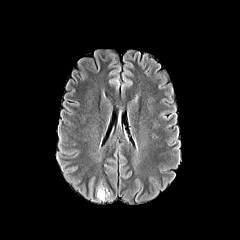
FLAIR magnetic resonance.
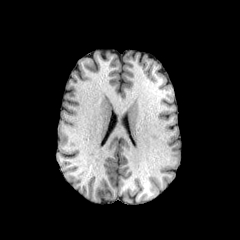
T1-weighted MR of the same slice.
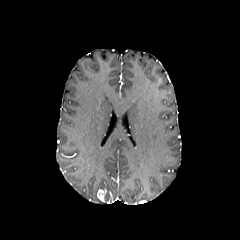
Post-contrast T1-weighted MR.
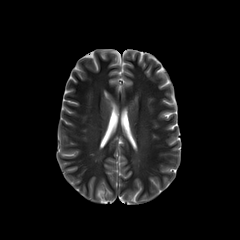
T2-weighted MR image of the same slice.
Axial plane | Head
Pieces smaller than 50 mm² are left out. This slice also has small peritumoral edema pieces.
- enhancing tumor: (left=97, top=189, right=104, bottom=200)